FLAIR MRI.
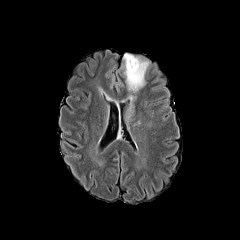
T1-weighted MR image.
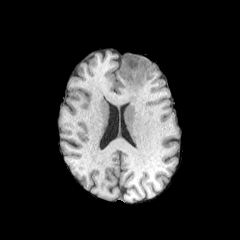
Post-contrast T1-weighted MRI.
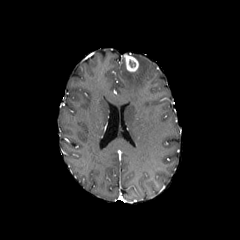
T2-weighted MRI.
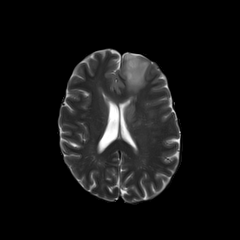
Image size 240x240; Axial plane
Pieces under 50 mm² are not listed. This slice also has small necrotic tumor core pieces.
enhancing_tumor:
  - 124, 54, 138, 71
peritumoral_edema:
  - 122, 56, 149, 92
  - 124, 103, 134, 123